Image width 240 mm, 1.00 mm slice spacing; Slice index 98
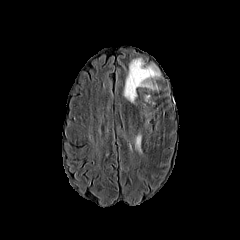
FLAIR MR.
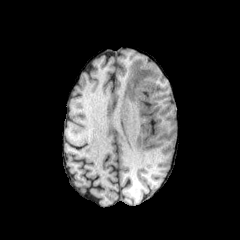
Same slice, T1-weighted MR image.
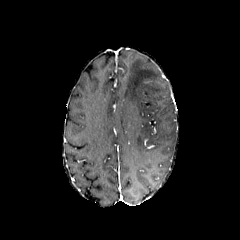
Post-contrast T1-weighted MR image of the same slice.
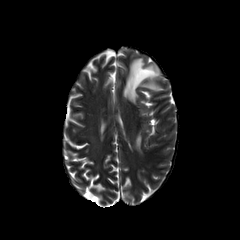
T2-weighted MR image of the same slice.
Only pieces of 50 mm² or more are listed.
{"peritumoral_edema": ["[123,58,160,102]", "[135,134,141,152]"]}